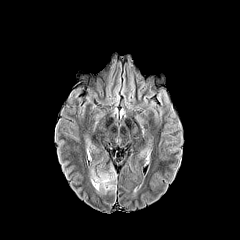
FLAIR MRI.
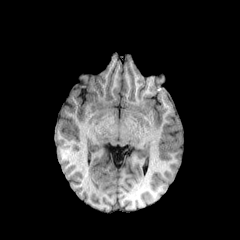
T1-weighted magnetic resonance.
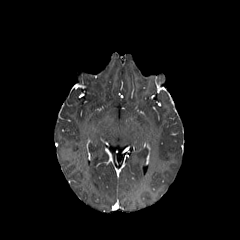
Post-contrast T1-weighted MR image.
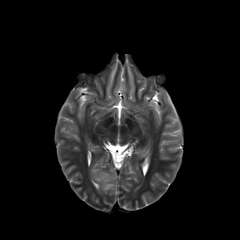
T2-weighted MR.
240x240. Head.
The peritumoral edema is at 90, 167, 116, 193.